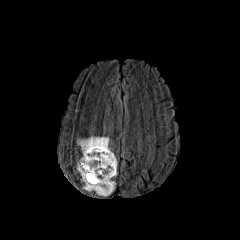
FLAIR MRI.
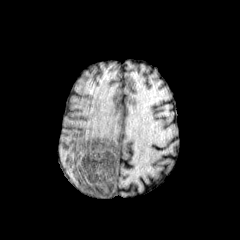
T1-weighted MR.
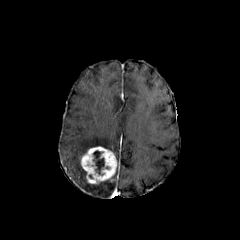
Same slice, post-contrast T1-weighted MR image.
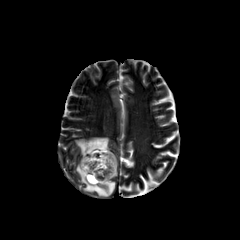
T2-weighted MR image.
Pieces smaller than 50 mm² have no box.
<segmentation>
  <peritumoral_edema>region(77, 160, 115, 196); region(77, 136, 110, 154)</peritumoral_edema>
  <enhancing_tumor>region(81, 146, 117, 183)</enhancing_tumor>
  <necrotic_tumor_core>region(93, 151, 104, 174)</necrotic_tumor_core>
</segmentation>